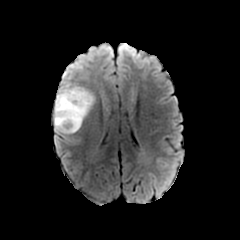
FLAIR MR image.
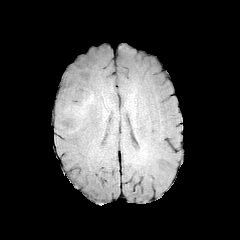
Same slice, T1-weighted MR image.
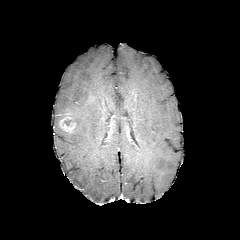
Post-contrast T1-weighted magnetic resonance.
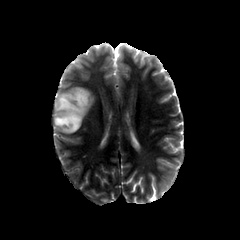
Same slice, T2-weighted MRI.
Axial slice.
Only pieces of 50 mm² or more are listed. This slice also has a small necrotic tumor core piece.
peritumoral edema: <box>53,85,95,135</box> | enhancing tumor: <box>58,112,76,132</box>